240x240; Head; Slice index 36
FLAIR MR.
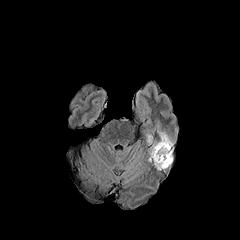
T1-weighted MR image.
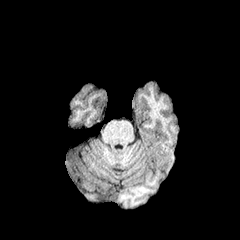
Post-contrast T1-weighted MR image.
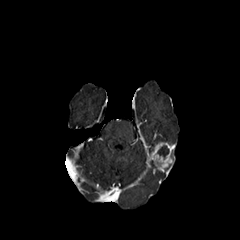
T2-weighted magnetic resonance.
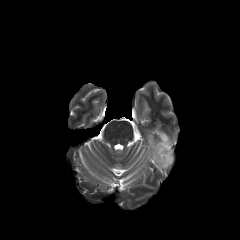
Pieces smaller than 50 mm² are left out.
{
  "necrotic_tumor_core": [
    "[157,145,168,158]"
  ],
  "enhancing_tumor": [
    "[149,142,173,170]"
  ],
  "peritumoral_edema": [
    "[147,134,152,143]",
    "[158,131,173,144]"
  ]
}